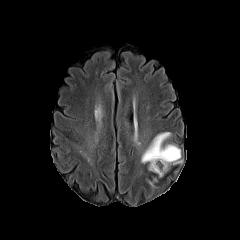
FLAIR MR image.
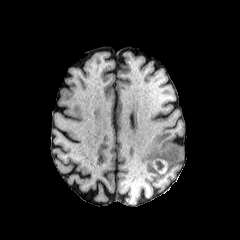
T1-weighted magnetic resonance.
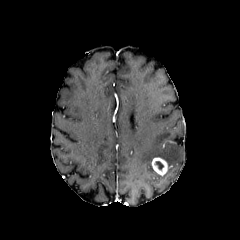
Post-contrast T1-weighted MR.
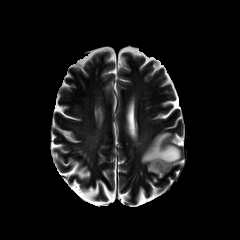
T2-weighted MRI of the same slice.
Axial slice
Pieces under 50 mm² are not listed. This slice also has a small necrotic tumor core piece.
Findings:
• peritumoral edema: <bbox>141, 132, 182, 172</bbox>
• enhancing tumor: <bbox>151, 157, 168, 175</bbox>